FLAIR MR.
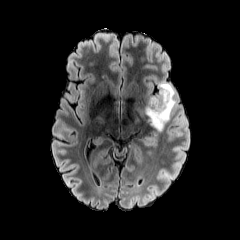
T1-weighted MR image.
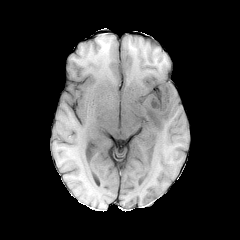
Post-contrast T1-weighted magnetic resonance.
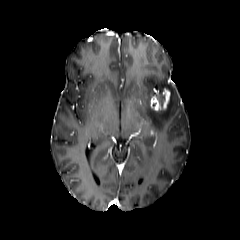
T2-weighted magnetic resonance.
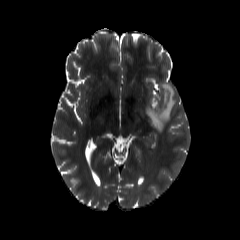
Head, 240x240 px
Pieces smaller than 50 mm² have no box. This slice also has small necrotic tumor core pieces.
Segmented structures:
- enhancing tumor: 150,88,170,110
- peritumoral edema: 145,81,176,130